240x240 | Axial plane
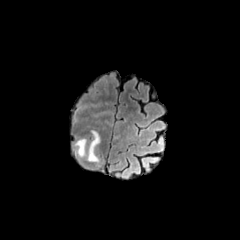
FLAIR MR.
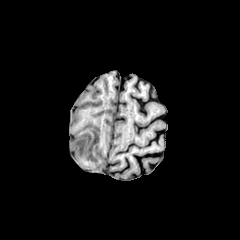
T1-weighted MRI.
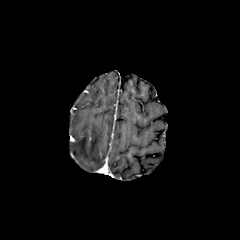
Post-contrast T1-weighted MR image of the same slice.
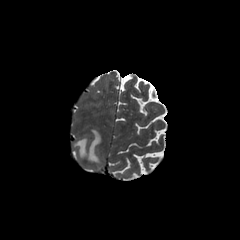
T2-weighted magnetic resonance.
The peritumoral edema is located at x1=73 y1=130 x2=100 y2=162.